FLAIR MRI.
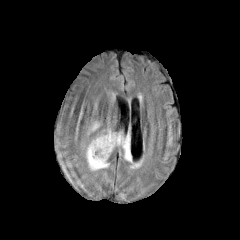
T1-weighted MR.
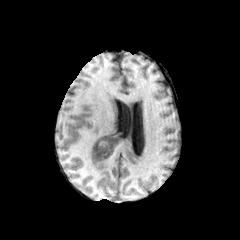
Post-contrast T1-weighted MRI.
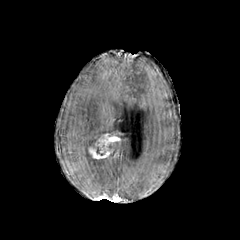
T2-weighted magnetic resonance.
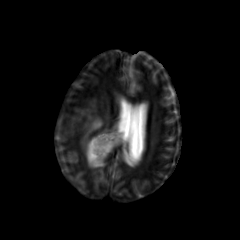
Axial plane, 240x240 px
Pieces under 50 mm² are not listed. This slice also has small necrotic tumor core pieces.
Annotated regions:
• enhancing tumor: (x1=89, y1=131, x2=121, y2=159)
• peritumoral edema: (x1=112, y1=135, x2=131, y2=161), (x1=91, y1=121, x2=99, y2=130), (x1=86, y1=136, x2=108, y2=169)